FLAIR MR.
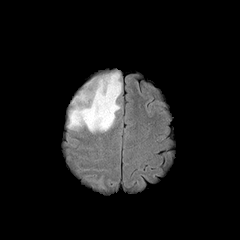
T1-weighted MR.
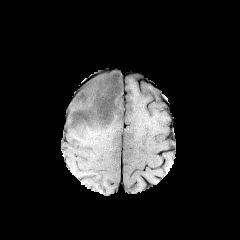
Post-contrast T1-weighted magnetic resonance.
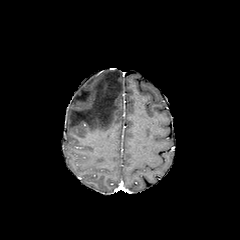
T2-weighted MR image.
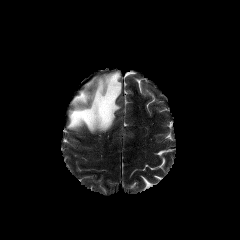
Axial slice
The peritumoral edema is located at box(68, 71, 121, 132).